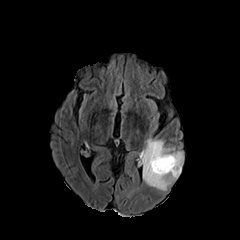
FLAIR MR image.
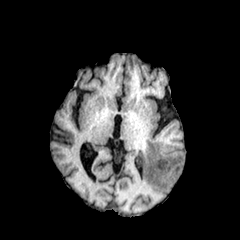
T1-weighted MR.
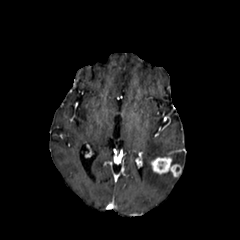
Post-contrast T1-weighted magnetic resonance.
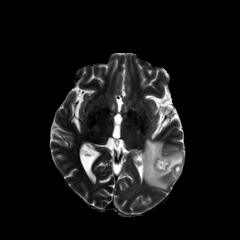
Same slice, T2-weighted MR image.
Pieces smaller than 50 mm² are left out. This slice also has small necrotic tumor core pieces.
2 peritumoral edema regions appear at 169,152,183,166; 142,138,177,190. The enhancing tumor appears at 150,155,181,176.